Head, Axial slice, 240x240
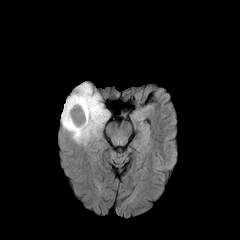
FLAIR magnetic resonance.
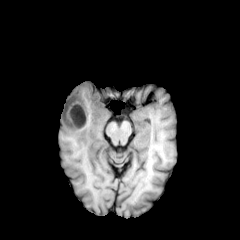
T1-weighted magnetic resonance of the same slice.
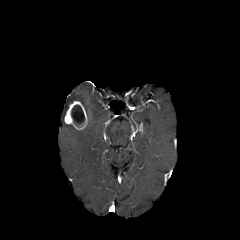
Same slice, post-contrast T1-weighted MRI.
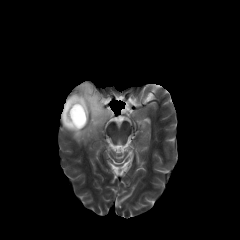
Same slice, T2-weighted MR image.
{
  "peritumoral_edema": [
    "(61,82,109,145)"
  ],
  "enhancing_tumor": [
    "(64,100,87,130)"
  ],
  "necrotic_tumor_core": [
    "(72,105,84,125)"
  ]
}